FLAIR MRI.
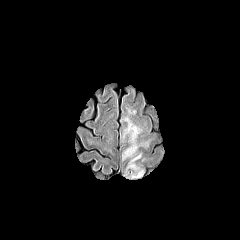
T1-weighted MRI.
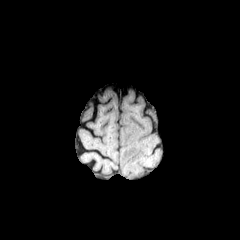
Post-contrast T1-weighted magnetic resonance.
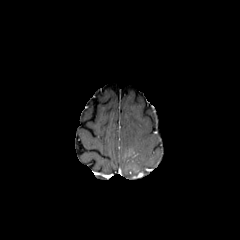
T2-weighted MRI.
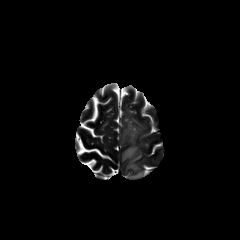
Axial plane; Head
Findings:
• peritumoral edema: (126,167,145,179), (122,108,151,162)
• enhancing tumor: (122,147,134,159), (123,162,140,174)